FLAIR MR.
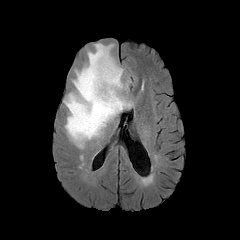
T1-weighted MR image.
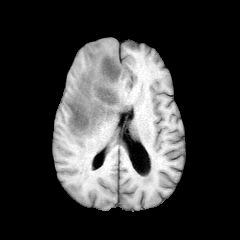
Post-contrast T1-weighted MRI.
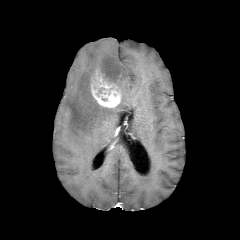
T2-weighted MRI.
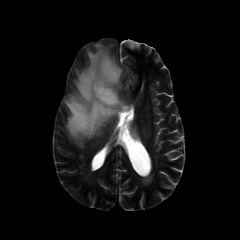
240x240
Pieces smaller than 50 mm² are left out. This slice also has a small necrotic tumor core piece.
The peritumoral edema is located at <bbox>64, 43, 132, 148</bbox>. The enhancing tumor is bounded by <bbox>91, 71, 120, 108</bbox>.